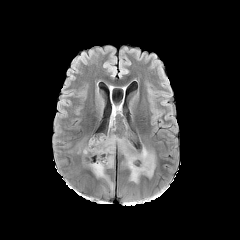
FLAIR MR image.
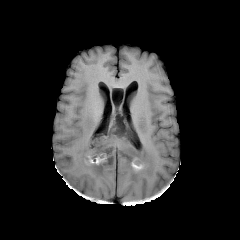
T1-weighted MR.
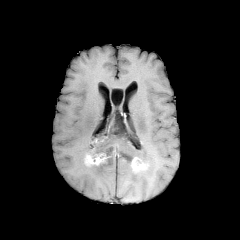
Post-contrast T1-weighted magnetic resonance.
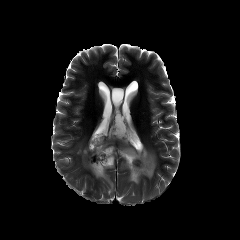
T2-weighted MR image.
Axial view; Head
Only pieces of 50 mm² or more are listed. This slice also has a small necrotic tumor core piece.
peritumoral edema — bbox(109, 107, 115, 127); bbox(83, 134, 155, 189)
enhancing tumor — bbox(85, 153, 108, 166); bbox(131, 157, 146, 171); bbox(91, 139, 103, 145)